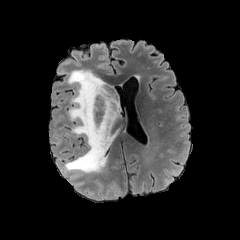
FLAIR magnetic resonance.
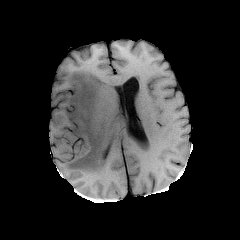
T1-weighted MRI.
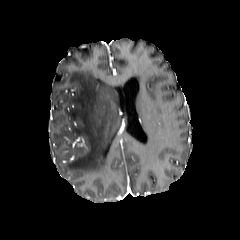
Post-contrast T1-weighted MR.
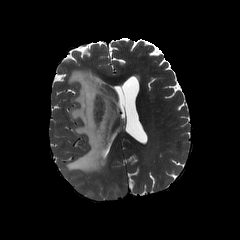
Same slice, T2-weighted MR image.
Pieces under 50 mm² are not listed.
<segmentation>
  <peritumoral_edema>[x1=64, y1=69, x2=120, y2=173]</peritumoral_edema>
</segmentation>